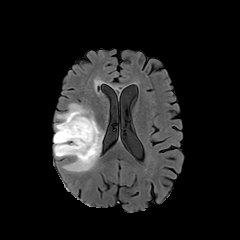
FLAIR MR image.
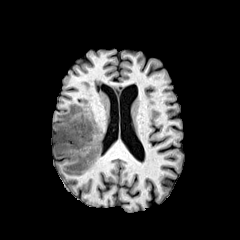
T1-weighted MR of the same slice.
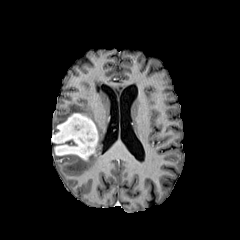
Same slice, post-contrast T1-weighted magnetic resonance.
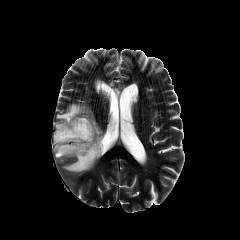
T2-weighted MR image.
Axial plane
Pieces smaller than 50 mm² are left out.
peritumoral edema: box=[54, 103, 104, 173]
enhancing tumor: box=[53, 113, 98, 160]